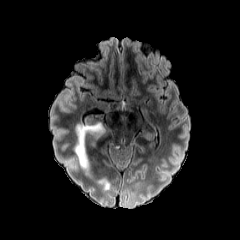
FLAIR magnetic resonance.
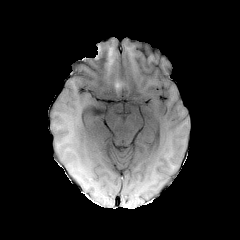
T1-weighted magnetic resonance.
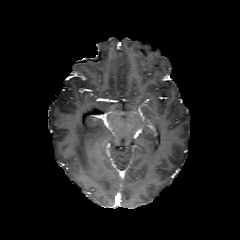
Same slice, post-contrast T1-weighted MR image.
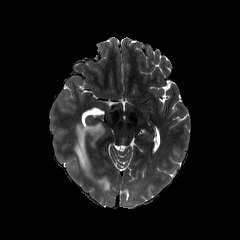
T2-weighted MR of the same slice.
Brain
Findings:
• peritumoral edema: [74,122,105,175], [98,177,109,190]